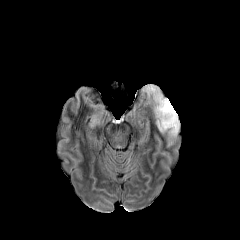
FLAIR MRI.
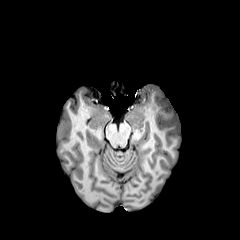
T1-weighted MR image.
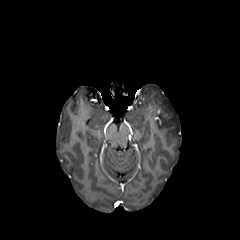
Post-contrast T1-weighted MRI.
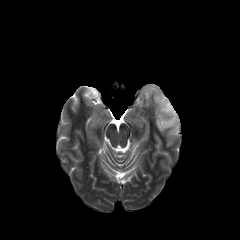
T2-weighted MR image of the same slice.
Image size 240x240. Axial slice. Brain.
peritumoral_edema:
  - box=[146, 85, 179, 137]